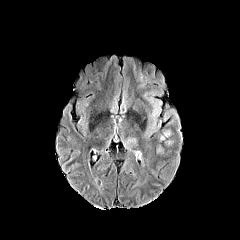
FLAIR magnetic resonance.
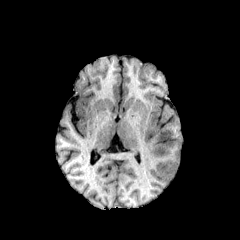
Same slice, T1-weighted MR image.
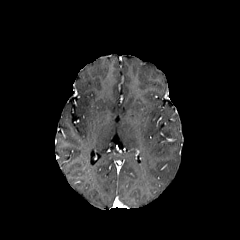
Post-contrast T1-weighted MR of the same slice.
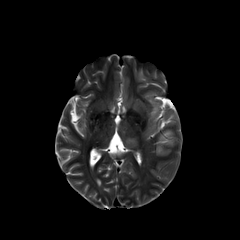
T2-weighted MR.
Axial plane | Brain
Findings:
* peritumoral edema: box=[163, 108, 178, 125]; box=[122, 138, 138, 148]; box=[156, 129, 174, 157]